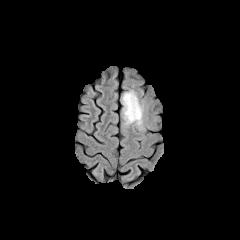
FLAIR MR image.
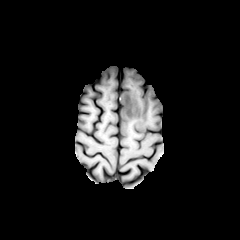
T1-weighted MR image.
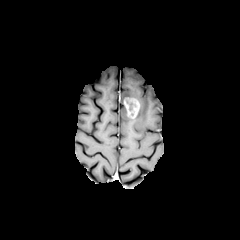
Post-contrast T1-weighted MR image.
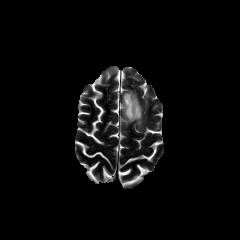
T2-weighted MR image.
Image size 240x240, Head, Axial slice
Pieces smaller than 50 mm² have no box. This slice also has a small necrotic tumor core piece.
peritumoral edema: {"x1": 121, "y1": 90, "x2": 143, "y2": 129}
enhancing tumor: {"x1": 124, "y1": 97, "x2": 139, "y2": 118}